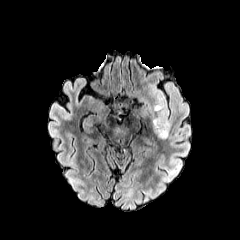
FLAIR MR.
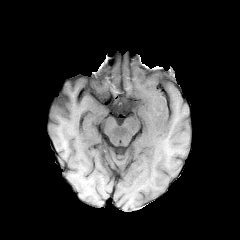
T1-weighted MR image of the same slice.
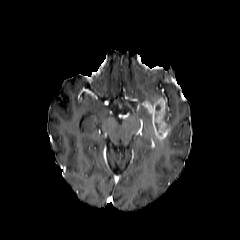
Post-contrast T1-weighted magnetic resonance of the same slice.
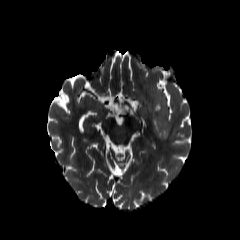
T2-weighted MR image.
Head; Axial slice
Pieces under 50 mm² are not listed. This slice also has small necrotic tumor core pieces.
{
  "peritumoral_edema": [
    "box=[150, 86, 164, 98]"
  ],
  "enhancing_tumor": [
    "box=[142, 96, 170, 140]"
  ]
}